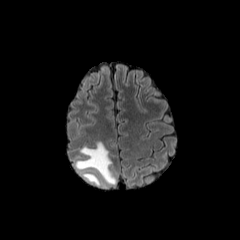
FLAIR MRI.
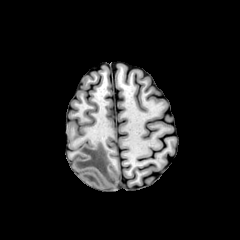
T1-weighted MRI.
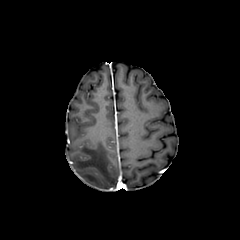
Post-contrast T1-weighted MR image.
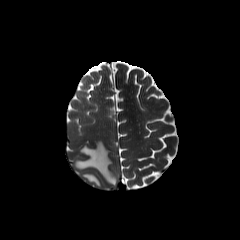
T2-weighted magnetic resonance.
Axial plane, 240x240
2 peritumoral edema regions are bounded by 82:172:102:186, 75:141:116:184.